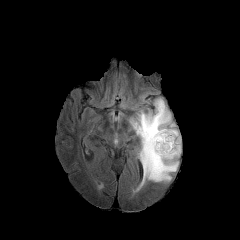
FLAIR magnetic resonance.
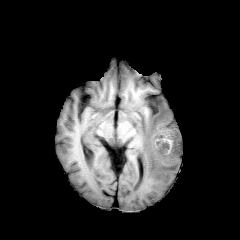
T1-weighted MR image.
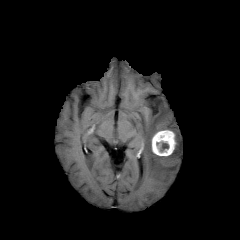
Post-contrast T1-weighted MRI.
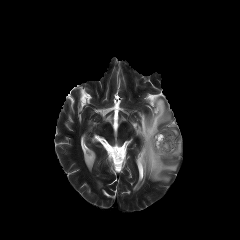
T2-weighted MRI.
Brain.
necrotic tumor core = x1=157 y1=142 x2=168 y2=151
enhancing tumor = x1=152 y1=130 x2=176 y2=156
peritumoral edema = x1=131 y1=98 x2=181 y2=185